Brain | Slice index 100 | Image width 240 mm
FLAIR MR image.
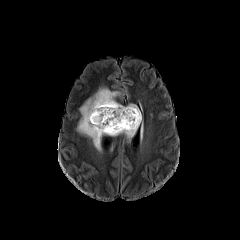
T1-weighted magnetic resonance.
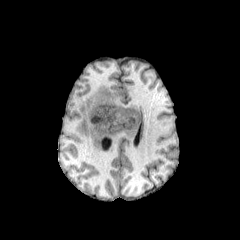
Post-contrast T1-weighted MR image.
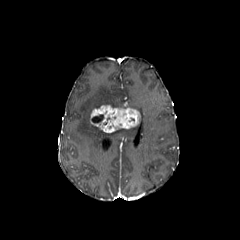
T2-weighted MR.
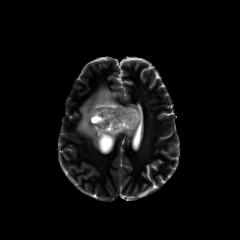
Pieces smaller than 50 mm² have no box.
enhancing_tumor:
  - x1=90 y1=105 x2=140 y2=133
peritumoral_edema:
  - x1=127 y1=104 x2=143 y2=131
  - x1=77 y1=87 x2=138 y2=150
necrotic_tumor_core:
  - x1=91 y1=114 x2=103 y2=122